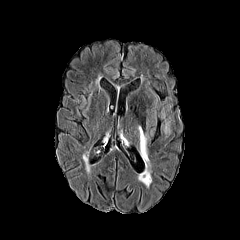
FLAIR MR image.
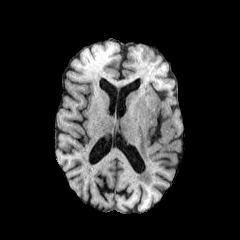
T1-weighted MRI.
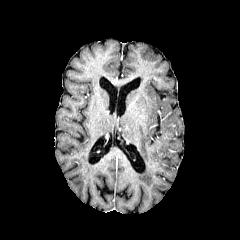
Same slice, post-contrast T1-weighted magnetic resonance.
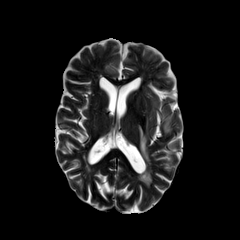
T2-weighted MR image.
240x240 px, Axial plane, Brain
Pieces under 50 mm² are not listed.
{"peritumoral_edema": ["box(138, 126, 149, 165)", "box(164, 121, 170, 133)"]}